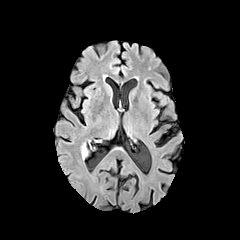
FLAIR MRI.
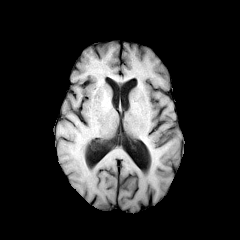
T1-weighted MRI.
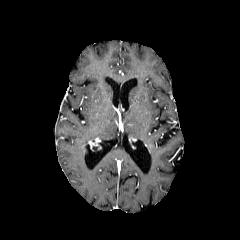
Post-contrast T1-weighted MR image.
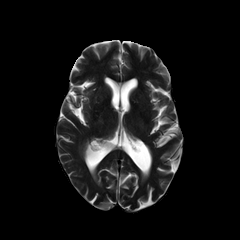
T2-weighted MR.
Axial view
peritumoral edema: 79 140 89 158